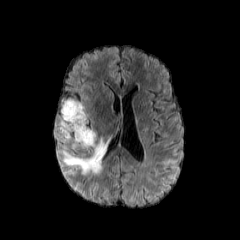
FLAIR MR image.
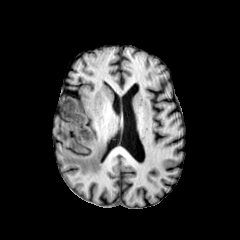
T1-weighted MRI.
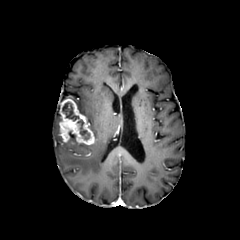
Post-contrast T1-weighted MR image.
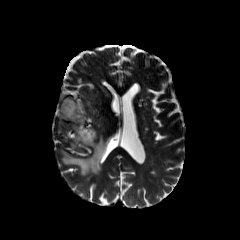
T2-weighted MRI.
Brain, Axial view
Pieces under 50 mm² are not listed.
The largest enhancing tumor region lies within [59,98,94,144]. The 2 largest peritumoral edema regions are located at [62,138,107,174], [74,101,86,117]. 2 necrotic tumor core regions appear at [77,120,89,139], [62,102,79,120].